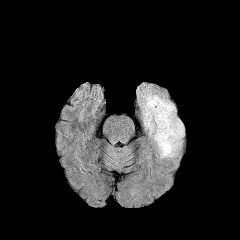
FLAIR MR image.
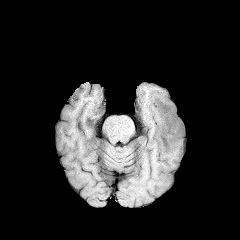
T1-weighted MRI.
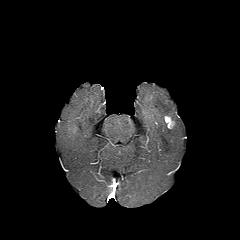
Post-contrast T1-weighted magnetic resonance.
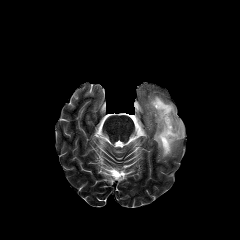
T2-weighted MRI.
Brain.
<segmentation>
  <peritumoral_edema>l=142, t=92, r=184, b=158</peritumoral_edema>
  <enhancing_tumor>l=164, t=115, r=174, b=128</enhancing_tumor>
</segmentation>